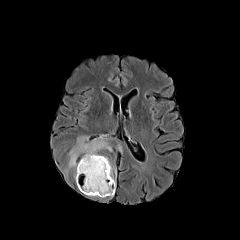
FLAIR MR.
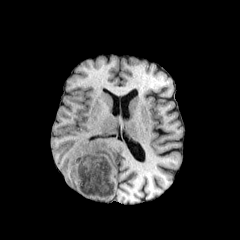
T1-weighted magnetic resonance.
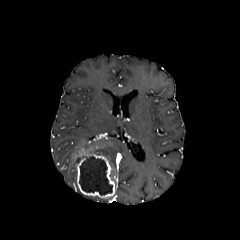
Post-contrast T1-weighted MRI.
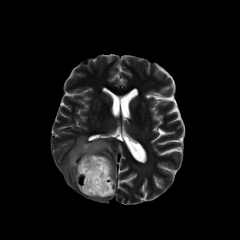
Same slice, T2-weighted MRI.
Image size 240x240
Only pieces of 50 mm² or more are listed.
enhancing tumor at bbox=[76, 153, 115, 198]
peritumoral edema at bbox=[68, 133, 113, 182]; bbox=[108, 158, 114, 180]
necrotic tumor core at bbox=[80, 156, 112, 195]